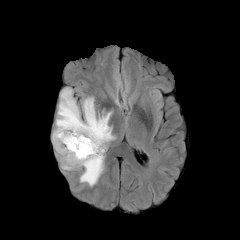
FLAIR MR.
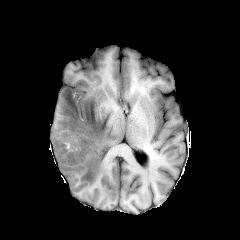
T1-weighted magnetic resonance.
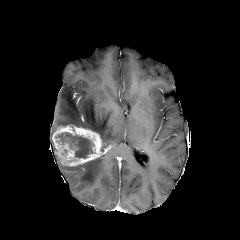
Same slice, post-contrast T1-weighted MR image.
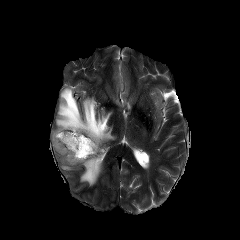
T2-weighted MR image.
Axial slice
peritumoral edema: l=53, t=87, r=115, b=150; l=61, t=158, r=103, b=186 | necrotic tumor core: l=62, t=132, r=91, b=158 | enhancing tumor: l=52, t=125, r=102, b=166